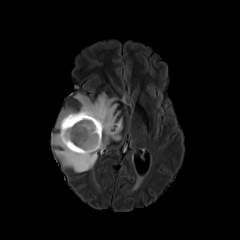
FLAIR magnetic resonance.
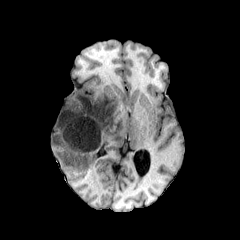
Same slice, T1-weighted MR.
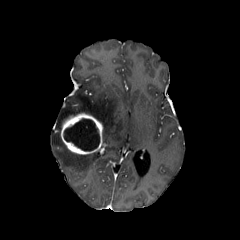
Same slice, post-contrast T1-weighted MR image.
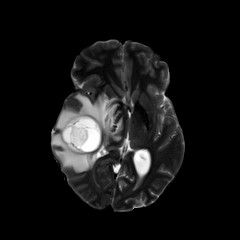
Same slice, T2-weighted MR image.
Brain, Axial view, Image size 240x240
enhancing tumor: x1=60 y1=113 x2=103 y2=154
peritumoral edema: x1=51 y1=92 x2=122 y2=172
necrotic tumor core: x1=64 y1=118 x2=99 y2=151